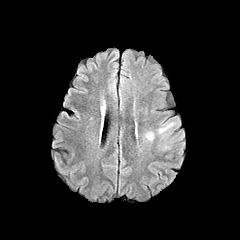
FLAIR MR image.
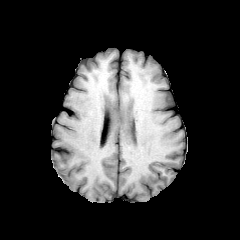
Same slice, T1-weighted magnetic resonance.
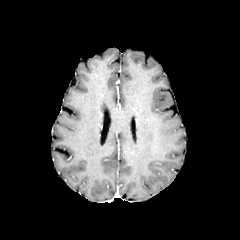
Same slice, post-contrast T1-weighted MR image.
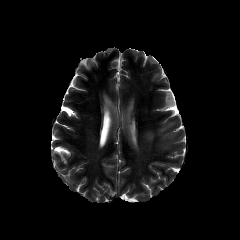
T2-weighted magnetic resonance of the same slice.
peritumoral edema — <box>145,132,153,140</box>, <box>158,122,173,133</box>